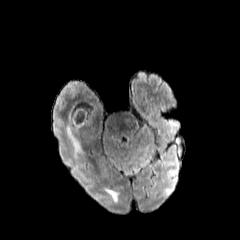
FLAIR MRI.
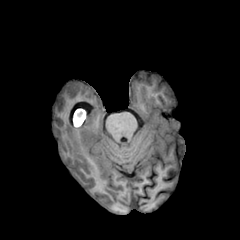
T1-weighted MRI.
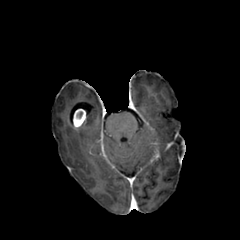
Post-contrast T1-weighted MR.
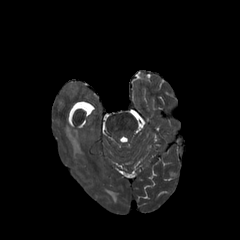
Same slice, T2-weighted MR image.
240x240; Axial view
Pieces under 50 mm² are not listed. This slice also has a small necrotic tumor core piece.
peritumoral_edema:
  - x1=105 y1=188 x2=118 y2=202
  - x1=66 y1=125 x2=81 y2=157
enhancing_tumor:
  - x1=73 y1=108 x2=86 y2=126